Axial plane; Slice index 78
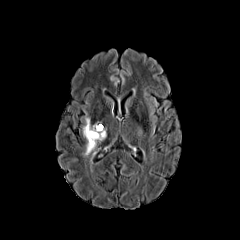
FLAIR MR.
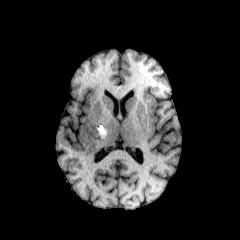
T1-weighted MR image.
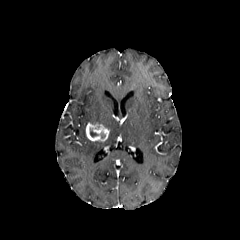
Same slice, post-contrast T1-weighted MRI.
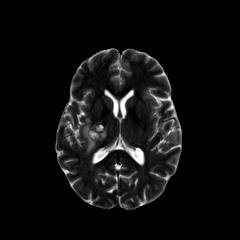
T2-weighted MRI.
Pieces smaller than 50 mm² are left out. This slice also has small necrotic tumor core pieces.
* peritumoral edema: x1=83 y1=117 x2=97 y2=155
* enhancing tumor: x1=85 y1=122 x2=108 y2=141